Brain, Slice index 106
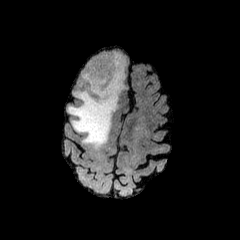
FLAIR magnetic resonance.
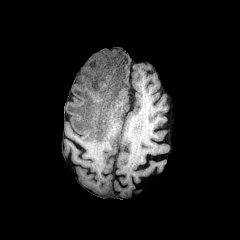
Same slice, T1-weighted magnetic resonance.
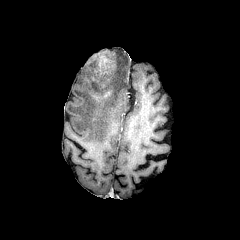
Post-contrast T1-weighted magnetic resonance of the same slice.
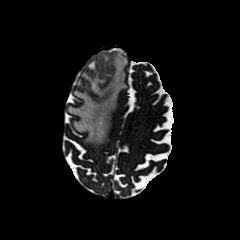
T2-weighted MRI of the same slice.
2 enhancing tumor regions appear at (103,89,110,97), (89,51,115,84). The peritumoral edema lies within (67,51,127,148).